Image size 240x240 | Slice 39 of 155 | Head
FLAIR magnetic resonance.
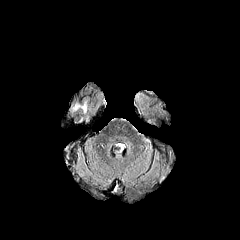
T1-weighted magnetic resonance.
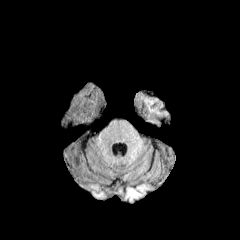
Post-contrast T1-weighted MR image.
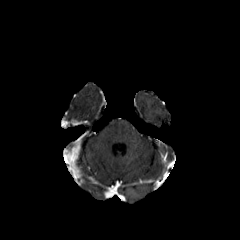
T2-weighted MRI.
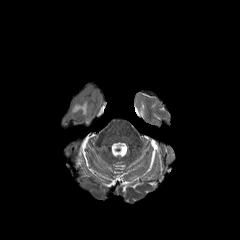
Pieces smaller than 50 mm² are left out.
peritumoral_edema:
  - <bbox>73, 102, 86, 113</bbox>
enhancing_tumor:
  - <bbox>67, 148, 77, 156</bbox>